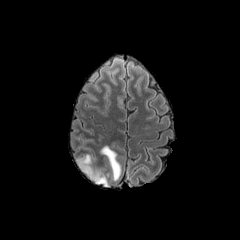
FLAIR MR image.
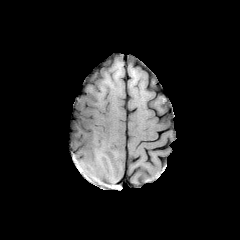
T1-weighted magnetic resonance.
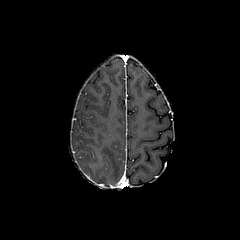
Post-contrast T1-weighted MR image.
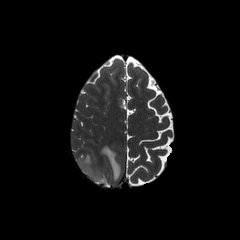
T2-weighted MRI of the same slice.
Axial plane. 240x240.
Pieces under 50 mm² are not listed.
peritumoral edema — [x1=76, y1=154, x2=107, y2=185], [x1=101, y1=146, x2=121, y2=180]